Axial slice, Brain, Slice 90/155
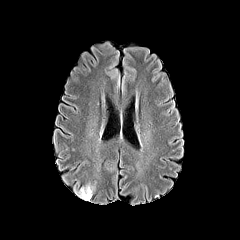
FLAIR MRI.
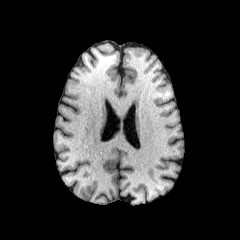
T1-weighted MR image.
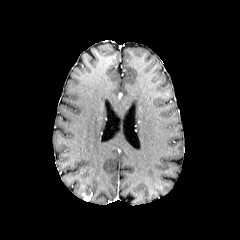
Post-contrast T1-weighted MR image of the same slice.
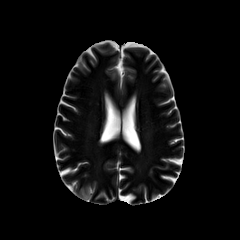
T2-weighted MRI.
The peritumoral edema is located at 76, 184, 94, 199. The enhancing tumor is located at 82, 192, 91, 200.